FLAIR MRI.
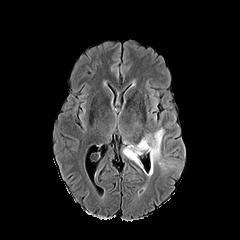
T1-weighted MR.
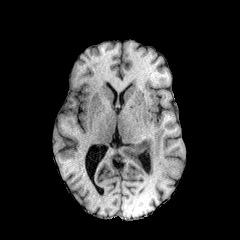
Post-contrast T1-weighted magnetic resonance.
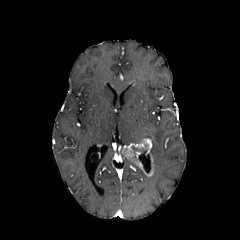
T2-weighted magnetic resonance.
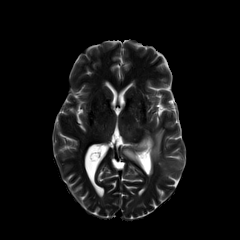
Brain.
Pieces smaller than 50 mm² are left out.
peritumoral edema: bounding box left=144, top=128, right=164, bottom=168
enhancing tumor: bounding box left=123, top=138, right=152, bottom=168
necrotic tumor core: bounding box left=131, top=146, right=146, bottom=157